Image covers 240 mm x 240 mm, Axial view, Brain
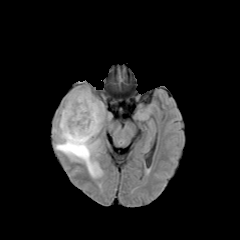
FLAIR MRI.
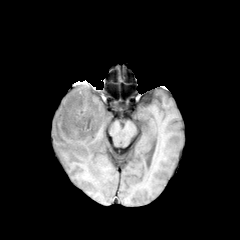
T1-weighted MR image of the same slice.
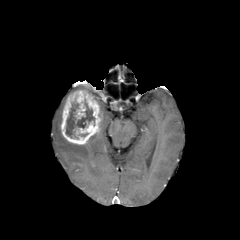
Post-contrast T1-weighted MRI.
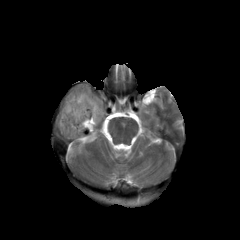
Same slice, T2-weighted magnetic resonance.
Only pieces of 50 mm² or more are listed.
enhancing tumor: box(61, 90, 102, 144) | necrotic tumor core: box(66, 102, 94, 137) | peritumoral edema: box(53, 109, 102, 177); box(94, 97, 112, 129)